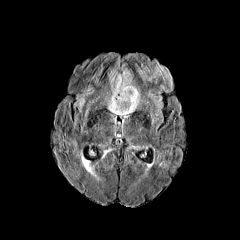
FLAIR MR.
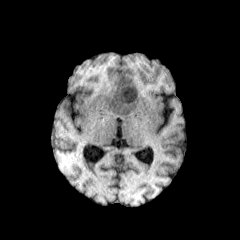
Same slice, T1-weighted magnetic resonance.
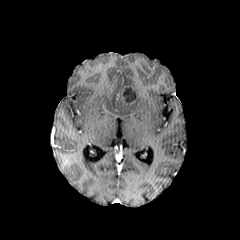
Post-contrast T1-weighted MR image.
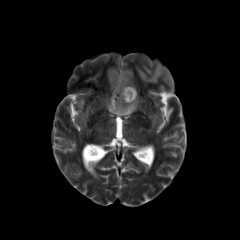
T2-weighted magnetic resonance.
Annotated regions:
• peritumoral edema: [108,69,139,117]
• enhancing tumor: [120,85,139,105]
• necrotic tumor core: [123,87,135,103]